Head.
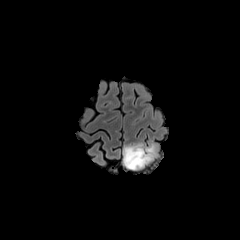
FLAIR magnetic resonance.
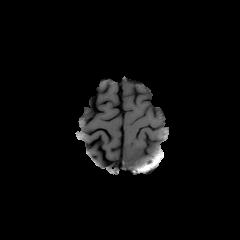
T1-weighted MRI.
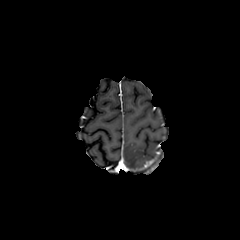
Post-contrast T1-weighted MRI.
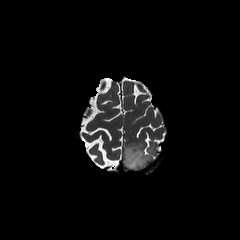
Same slice, T2-weighted MR image.
peritumoral edema = <bbox>123, 142, 156, 170</bbox>